Brain. Slice index 77. Axial plane.
FLAIR MRI.
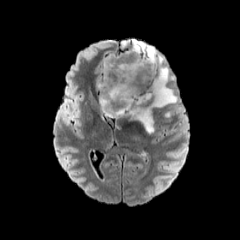
T1-weighted MR image.
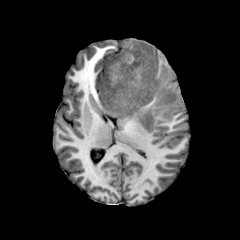
Post-contrast T1-weighted MRI.
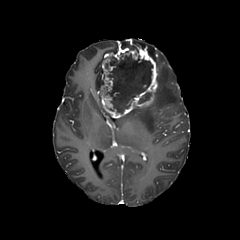
T2-weighted MR.
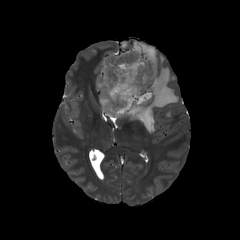
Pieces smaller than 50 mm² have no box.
enhancing_tumor:
  - x1=99, y1=45, x2=158, y2=118
necrotic_tumor_core:
  - x1=106, y1=54, x2=152, y2=113
  - x1=138, y1=92, x2=151, y2=103
peritumoral_edema:
  - x1=97, y1=69, x2=102, y2=90
  - x1=122, y1=39, x2=156, y2=63
  - x1=125, y1=66, x2=178, y2=133